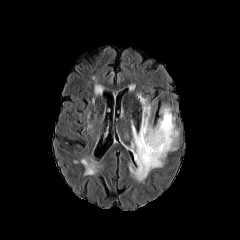
FLAIR MR.
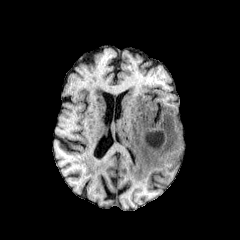
T1-weighted MR.
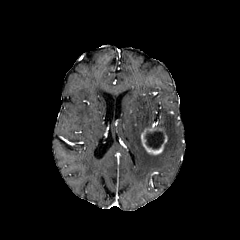
Post-contrast T1-weighted MR.
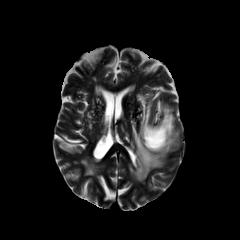
T2-weighted MRI of the same slice.
Axial view.
peritumoral edema: bounding box <box>129,94,178,181</box>
enhancing tumor: bounding box <box>141,123,167,155</box>
necrotic tumor core: bounding box <box>145,130,164,148</box>